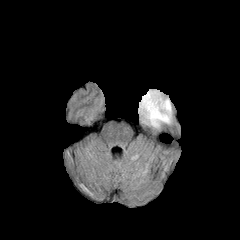
FLAIR magnetic resonance.
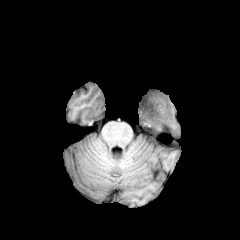
T1-weighted MRI.
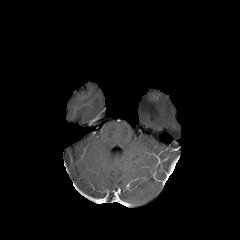
Post-contrast T1-weighted MRI.
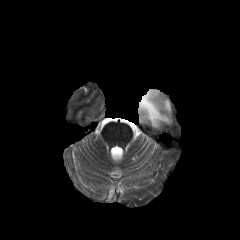
T2-weighted MR of the same slice.
Image size 240x240
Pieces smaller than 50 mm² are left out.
Findings:
• peritumoral edema: (138, 89, 172, 128)
• enhancing tumor: (139, 93, 158, 120)
• necrotic tumor core: (141, 97, 157, 118)